Head. Slice 80 of 155.
FLAIR MR.
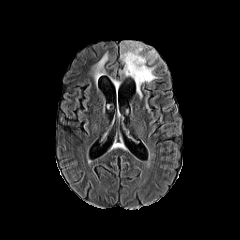
T1-weighted magnetic resonance.
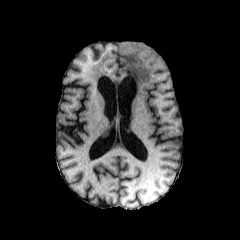
Post-contrast T1-weighted MR image.
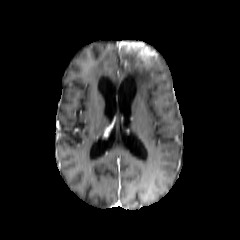
T2-weighted magnetic resonance.
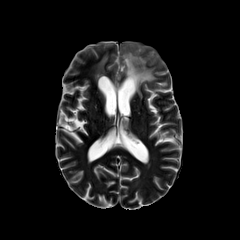
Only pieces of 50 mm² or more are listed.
peritumoral edema at region(94, 53, 108, 80); region(120, 47, 156, 97)
enhancing tumor at region(119, 41, 157, 66)